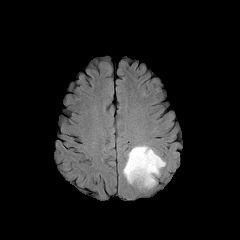
FLAIR MR.
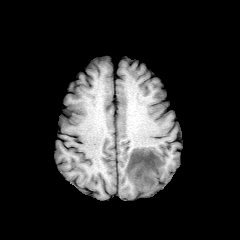
T1-weighted magnetic resonance.
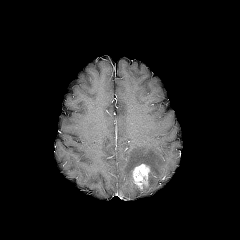
Same slice, post-contrast T1-weighted magnetic resonance.
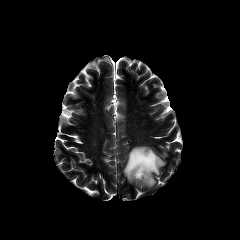
T2-weighted magnetic resonance.
Brain
The peritumoral edema is located at box(123, 145, 165, 188). The enhancing tumor appears at box(132, 164, 150, 189).